Head, Image size 240x240, Slice 86 of 155
FLAIR MRI.
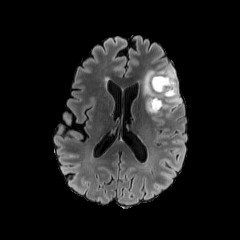
T1-weighted magnetic resonance.
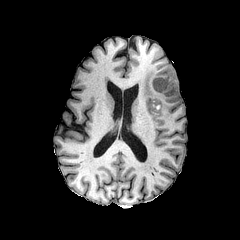
Post-contrast T1-weighted MRI.
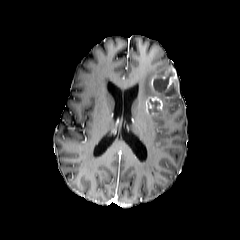
T2-weighted MR image.
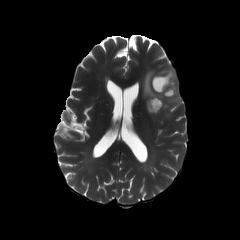
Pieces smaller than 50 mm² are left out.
peritumoral_edema:
  - x1=143 y1=64 x2=182 y2=118
enhancing_tumor:
  - x1=145 y1=96 x2=162 y2=115
  - x1=151 y1=66 x2=179 y2=98
necrotic_tumor_core:
  - x1=153 y1=70 x2=174 y2=92
  - x1=150 y1=100 x2=159 y2=111